Brain, Image covers 240 mm x 240 mm
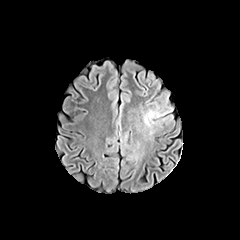
FLAIR MR image.
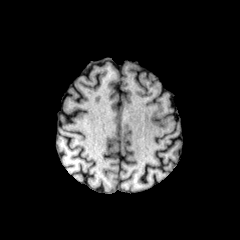
T1-weighted MR.
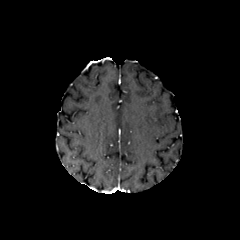
Same slice, post-contrast T1-weighted magnetic resonance.
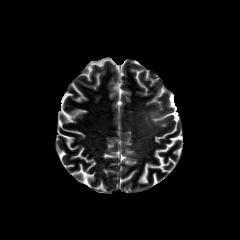
T2-weighted MRI of the same slice.
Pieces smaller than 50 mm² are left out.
* peritumoral edema: (142,109,160,126)